FLAIR MR image.
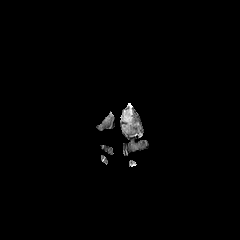
T1-weighted MR image.
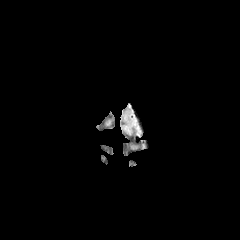
Post-contrast T1-weighted MR image.
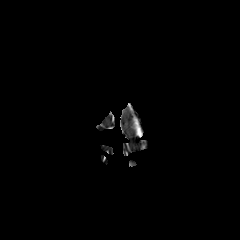
T2-weighted magnetic resonance.
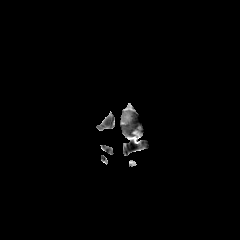
Axial plane; Head
The peritumoral edema is bounded by 123,110,131,123.